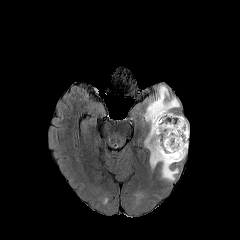
FLAIR magnetic resonance.
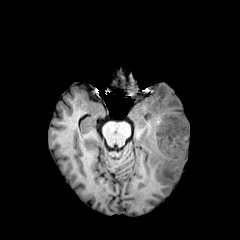
T1-weighted magnetic resonance.
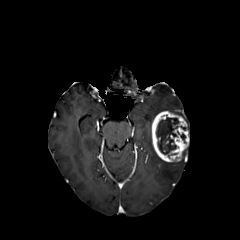
Post-contrast T1-weighted MR image.
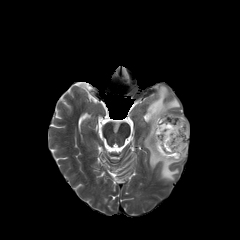
T2-weighted magnetic resonance.
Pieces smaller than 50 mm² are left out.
Annotated regions:
• peritumoral edema: {"x1": 145, "y1": 86, "x2": 179, "y2": 124}, {"x1": 145, "y1": 130, "x2": 178, "y2": 180}
• enhancing tumor: {"x1": 151, "y1": 111, "x2": 189, "y2": 162}
• necrotic tumor core: {"x1": 156, "y1": 118, "x2": 178, "y2": 154}